Slice 80 of 155; Axial slice; Brain
FLAIR MRI.
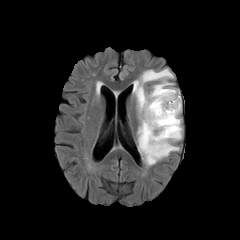
T1-weighted magnetic resonance.
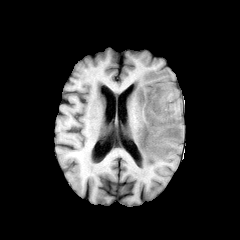
Post-contrast T1-weighted MRI.
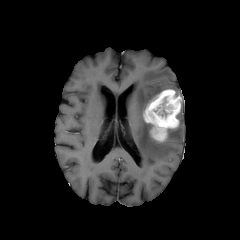
T2-weighted magnetic resonance.
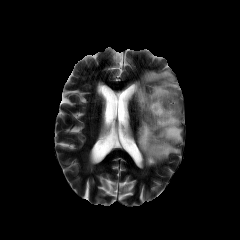
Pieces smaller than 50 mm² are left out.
peritumoral_edema:
  - 133,69,183,165
necrotic_tumor_core:
  - 155,101,173,117
enhancing_tumor:
  - 143,89,181,141